Slice index 74, 240x240 px
FLAIR MR.
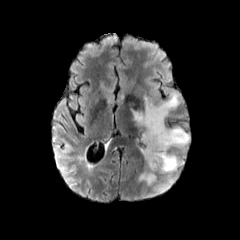
T1-weighted magnetic resonance.
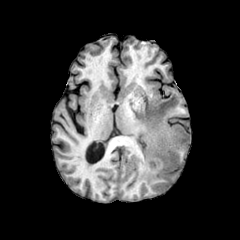
Post-contrast T1-weighted MR image.
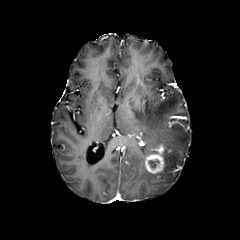
T2-weighted MR.
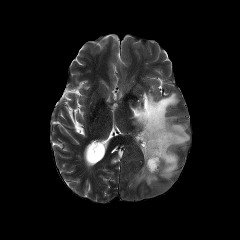
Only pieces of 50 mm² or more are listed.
The enhancing tumor is at (left=145, top=136, right=169, bottom=174). The necrotic tumor core is at (left=148, top=159, right=159, bottom=168). The 2 largest peritumoral edema regions are bounded by (left=138, top=168, right=156, bottom=185), (left=131, top=93, right=190, bottom=192).